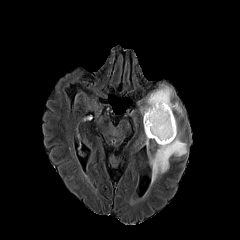
FLAIR magnetic resonance.
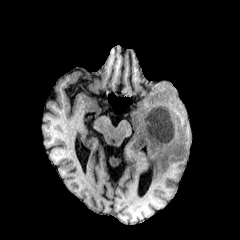
T1-weighted MR of the same slice.
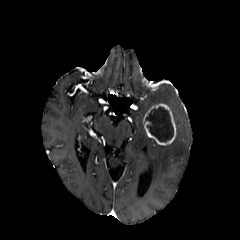
Same slice, post-contrast T1-weighted MR.
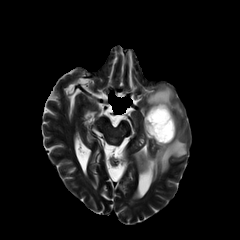
T2-weighted magnetic resonance.
Brain
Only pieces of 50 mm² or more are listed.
necrotic tumor core at (146,107,173,142)
enhancing tumor at (143,103,176,145)
peritumoral edema at (140,85,183,117), (148,116,187,184)